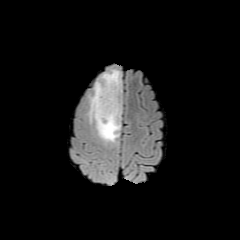
FLAIR MR.
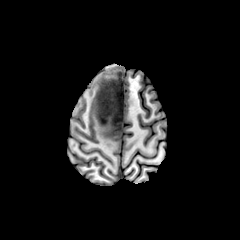
T1-weighted magnetic resonance.
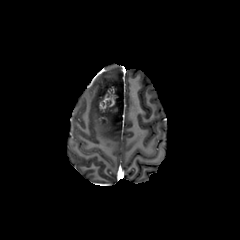
Post-contrast T1-weighted MR image.
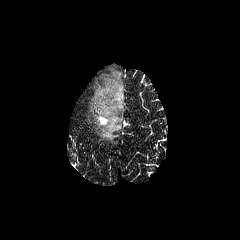
T2-weighted MR.
240x240. Brain. Axial slice.
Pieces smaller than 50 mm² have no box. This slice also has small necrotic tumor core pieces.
peritumoral edema: box=[88, 68, 122, 143] | enhancing tumor: box=[99, 87, 117, 111]